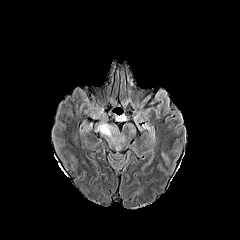
FLAIR MR image.
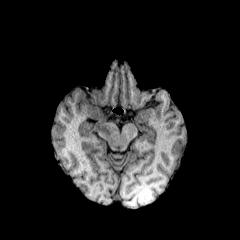
T1-weighted MR image.
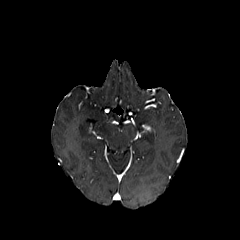
Post-contrast T1-weighted magnetic resonance.
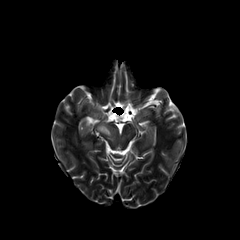
T2-weighted MR.
Axial view. Head.
peritumoral edema = <bbox>97, 124, 116, 141</bbox>